Slice index 117. Head. Image width 240 mm.
FLAIR MRI.
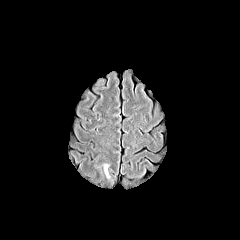
T1-weighted magnetic resonance.
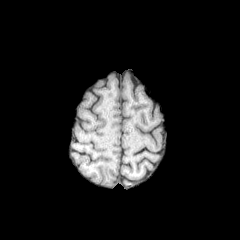
Post-contrast T1-weighted MR image.
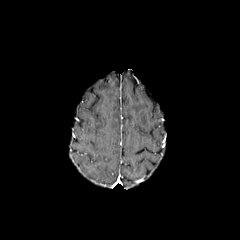
T2-weighted MRI.
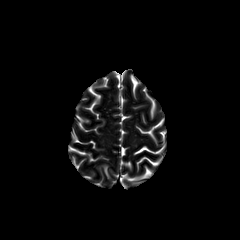
{"peritumoral_edema": ["103, 164, 110, 178"]}